FLAIR MRI.
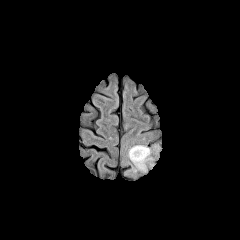
T1-weighted MR image.
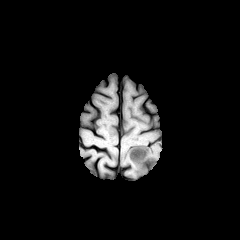
Post-contrast T1-weighted magnetic resonance.
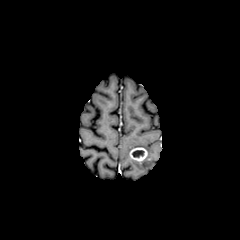
T2-weighted MRI.
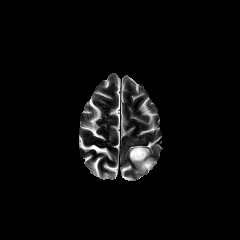
Brain
Segmented structures:
• peritumoral edema: <bbox>127, 145, 153, 172</bbox>
• enhancing tumor: <bbox>129, 147, 147, 163</bbox>
• necrotic tumor core: <bbox>132, 150, 144, 157</bbox>